Slice 78/155, 240x240 px
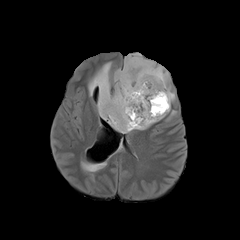
FLAIR magnetic resonance.
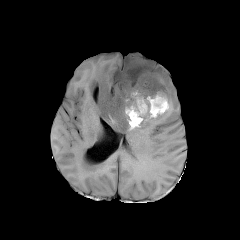
T1-weighted MRI.
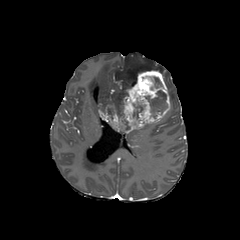
Post-contrast T1-weighted MRI.
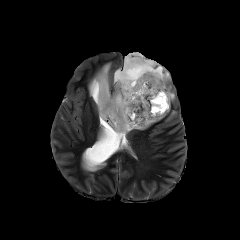
Same slice, T2-weighted magnetic resonance.
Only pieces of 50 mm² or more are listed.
The largest peritumoral edema region lies within 88,53,175,109. The largest enhancing tumor region is located at 98,70,170,133. The 2 largest necrotic tumor core regions are located at 145,90,167,117; 132,104,144,119.